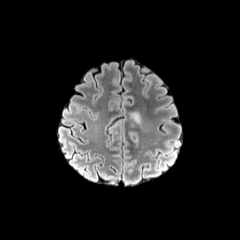
FLAIR magnetic resonance.
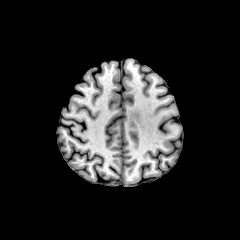
Same slice, T1-weighted MR image.
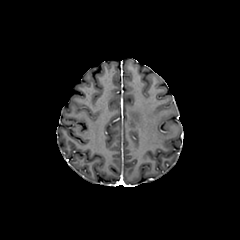
Post-contrast T1-weighted MR of the same slice.
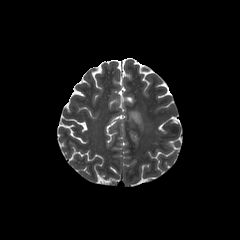
T2-weighted MR of the same slice.
240x240
The peritumoral edema lies within [130, 112, 139, 122].